Slice 91 of 155; Axial slice
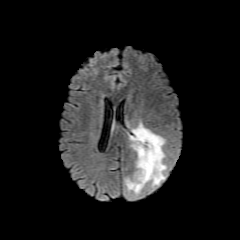
FLAIR magnetic resonance.
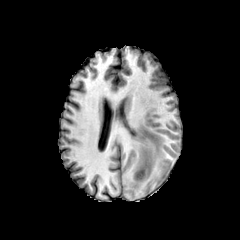
T1-weighted MR.
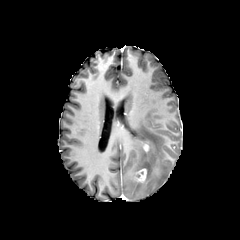
Post-contrast T1-weighted MR.
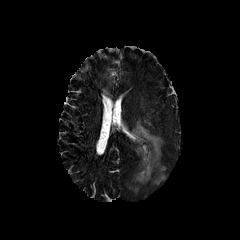
T2-weighted MR image.
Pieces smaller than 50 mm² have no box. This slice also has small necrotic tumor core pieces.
Findings:
• enhancing tumor: (x1=134, y1=168, x2=147, y2=182)
• peritumoral edema: (x1=125, y1=121, x2=167, y2=195)